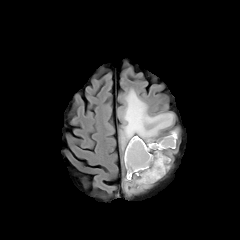
FLAIR magnetic resonance.
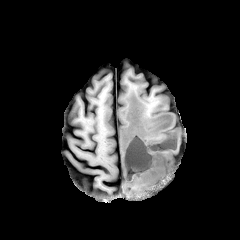
T1-weighted magnetic resonance.
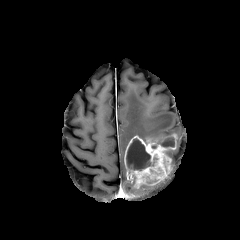
Post-contrast T1-weighted MRI.
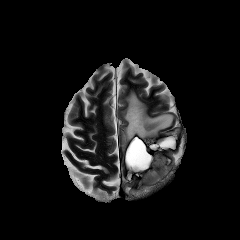
T2-weighted magnetic resonance.
Axial slice
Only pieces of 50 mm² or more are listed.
necrotic tumor core: l=160, t=137, r=174, b=146; l=126, t=139, r=154, b=170 | enhancing tumor: l=124, t=133, r=177, b=188 | peritumoral edema: l=120, t=90, r=173, b=150; l=124, t=177, r=137, b=192